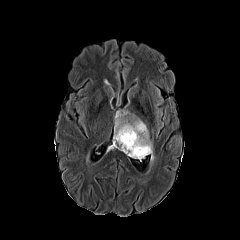
FLAIR MR.
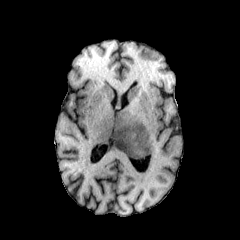
T1-weighted MR image.
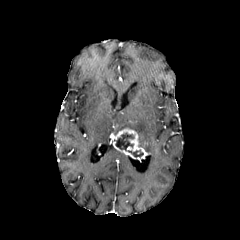
Same slice, post-contrast T1-weighted MR image.
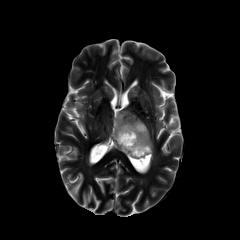
T2-weighted MRI.
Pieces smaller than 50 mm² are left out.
The largest peritumoral edema region lies within box=[114, 111, 153, 159]. The largest enhancing tumor region appears at box=[113, 128, 149, 159]. 2 necrotic tumor core regions are located at box=[115, 133, 134, 150]; box=[128, 150, 143, 157].